FLAIR MRI.
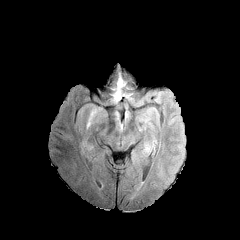
T1-weighted magnetic resonance.
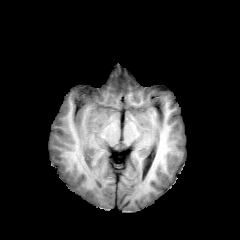
Post-contrast T1-weighted MR image.
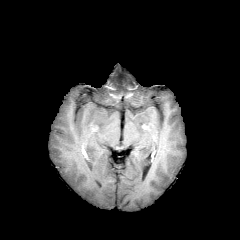
T2-weighted MR image.
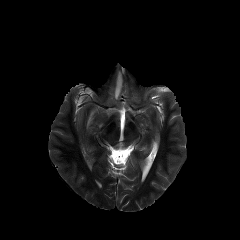
Axial slice, 240x240 px
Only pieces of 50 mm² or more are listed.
Annotated regions:
• peritumoral edema: l=114, t=74, r=123, b=101